Slice 53/155
FLAIR magnetic resonance.
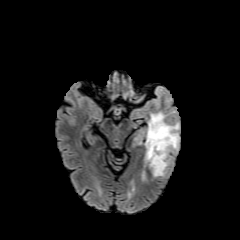
T1-weighted magnetic resonance.
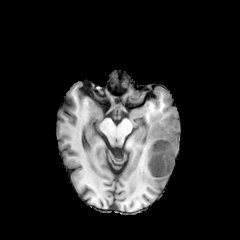
Post-contrast T1-weighted MR.
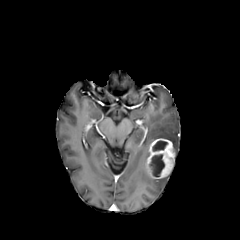
T2-weighted MRI.
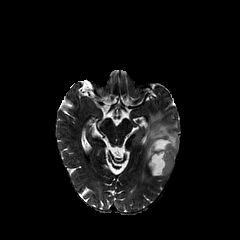
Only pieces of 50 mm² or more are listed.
<segmentation>
  <necrotic_tumor_core>[149, 154, 164, 177], [153, 141, 167, 151]</necrotic_tumor_core>
  <enhancing_tumor>[146, 138, 175, 178]</enhancing_tumor>
  <peritumoral_edema>[144, 112, 179, 163]</peritumoral_edema>
</segmentation>